Axial slice; Slice 76/155
FLAIR MRI.
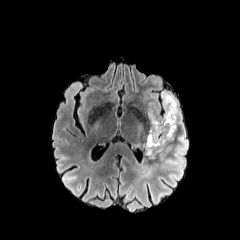
T1-weighted MR.
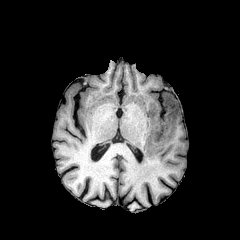
Post-contrast T1-weighted MR.
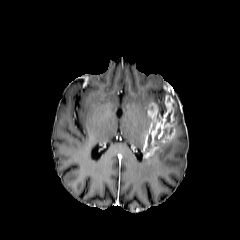
T2-weighted magnetic resonance.
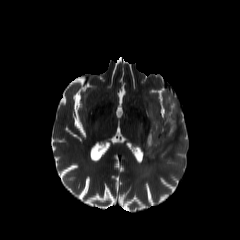
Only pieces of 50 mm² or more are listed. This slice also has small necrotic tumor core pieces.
peritumoral_edema:
  - 144:89:189:173
enhancing_tumor:
  - 144:94:176:156